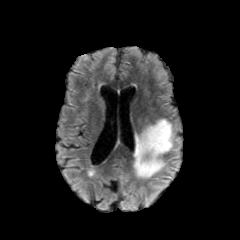
FLAIR magnetic resonance.
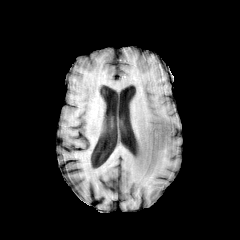
T1-weighted MR.
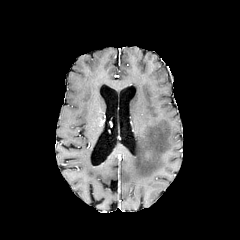
Post-contrast T1-weighted MR image.
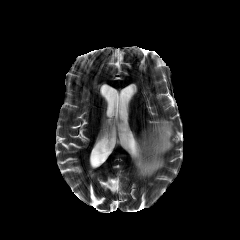
Same slice, T2-weighted MR.
Axial plane; Head
peritumoral edema = <box>134,119,173,177</box>